FLAIR MR.
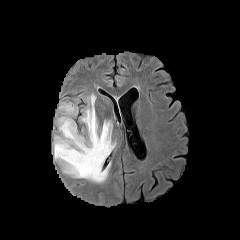
T1-weighted MR.
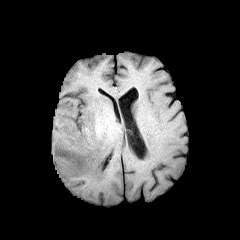
Post-contrast T1-weighted MR image.
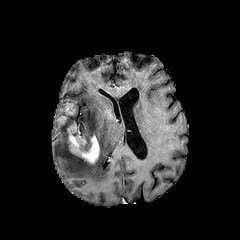
T2-weighted MR image.
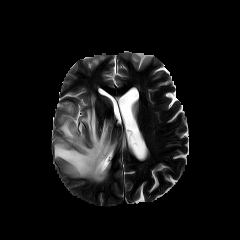
Axial slice; Image size 240x240
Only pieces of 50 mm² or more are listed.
Annotated regions:
* enhancing tumor: rect(58, 116, 66, 123); rect(67, 122, 99, 163); rect(64, 103, 75, 114)
* peritumoral edema: rect(54, 94, 116, 182)